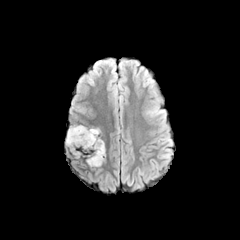
FLAIR MRI.
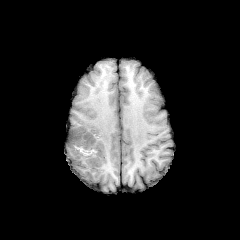
T1-weighted MR of the same slice.
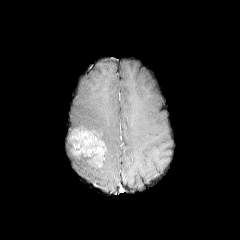
Post-contrast T1-weighted MR.
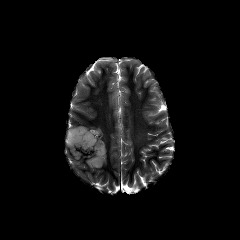
T2-weighted MR of the same slice.
Axial view.
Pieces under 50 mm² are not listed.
The enhancing tumor is located at (68,127,106,167). The largest peritumoral edema region is bounded by (66,126,83,148).